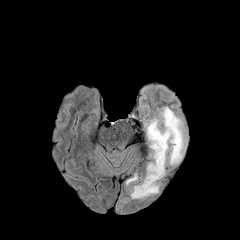
FLAIR MR image.
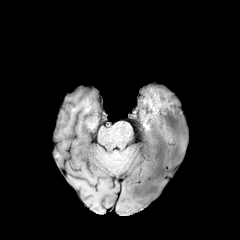
T1-weighted MRI.
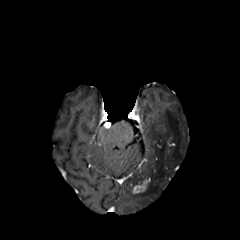
Post-contrast T1-weighted MR image of the same slice.
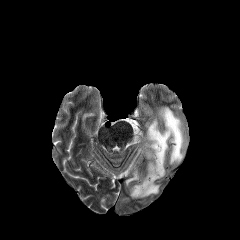
T2-weighted MR of the same slice.
Axial slice, Brain
The enhancing tumor is at (left=132, top=177, right=150, bottom=193). 2 peritumoral edema regions are bounded by (left=125, top=172, right=138, bottom=185), (left=130, top=107, right=186, bottom=198).